240x240 px
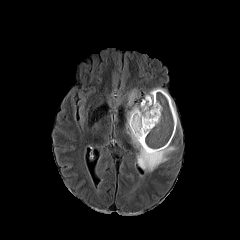
FLAIR MR.
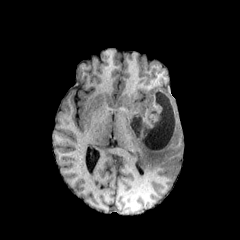
T1-weighted MR of the same slice.
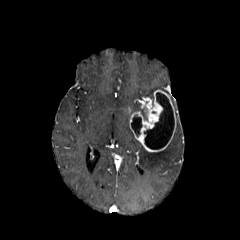
Post-contrast T1-weighted magnetic resonance.
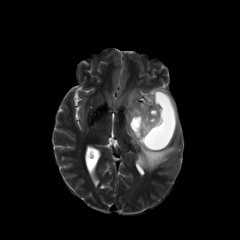
T2-weighted MR of the same slice.
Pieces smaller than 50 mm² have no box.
Segmented structures:
- enhancing tumor: {"x1": 129, "y1": 90, "x2": 176, "y2": 152}
- peritumoral edema: {"x1": 145, "y1": 87, "x2": 165, "y2": 101}, {"x1": 126, "y1": 89, "x2": 176, "y2": 171}
- necrotic tumor core: {"x1": 144, "y1": 92, "x2": 174, "y2": 149}, {"x1": 131, "y1": 115, "x2": 141, "y2": 135}